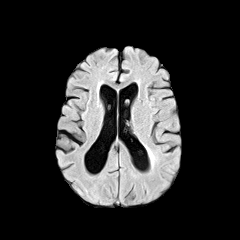
FLAIR magnetic resonance.
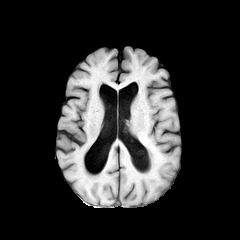
T1-weighted magnetic resonance.
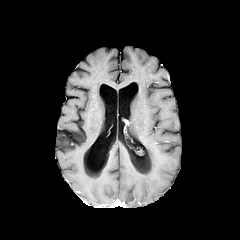
Same slice, post-contrast T1-weighted MR image.
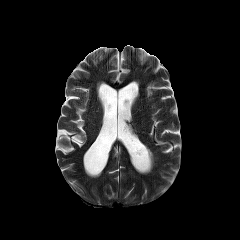
T2-weighted MRI of the same slice.
Axial view
peritumoral edema: (x1=144, y1=145, x2=155, y2=164)